FLAIR MR image.
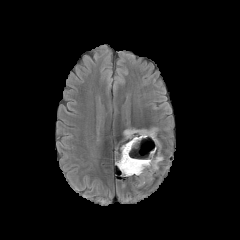
T1-weighted MR image.
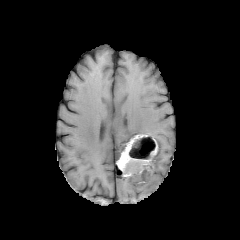
Post-contrast T1-weighted magnetic resonance.
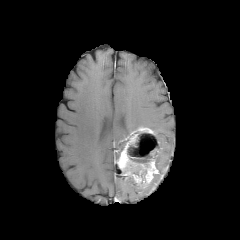
T2-weighted MR.
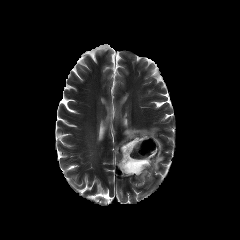
Image size 240x240 | Brain
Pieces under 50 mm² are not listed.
Findings:
- enhancing tumor: left=117, top=127, right=157, bottom=186
- necrotic tumor core: left=127, top=133, right=159, bottom=175
- peritumoral edema: left=155, top=151, right=163, bottom=168; left=124, top=128, right=136, bottom=137